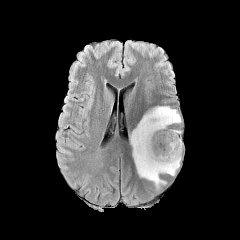
FLAIR MR.
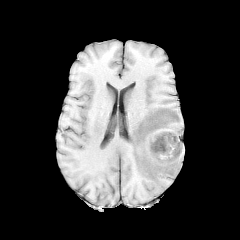
T1-weighted magnetic resonance.
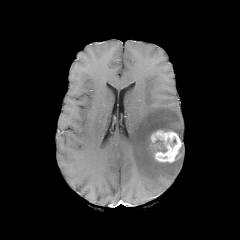
Post-contrast T1-weighted MR image.
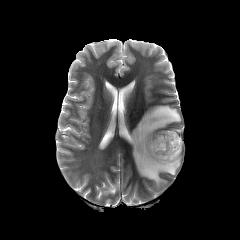
T2-weighted magnetic resonance.
Brain
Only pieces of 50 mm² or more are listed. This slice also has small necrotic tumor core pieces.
The largest peritumoral edema region is bounded by l=130, t=106, r=182, b=188. The enhancing tumor is located at l=150, t=130, r=182, b=162.